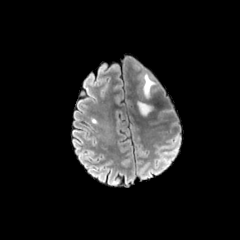
FLAIR MRI.
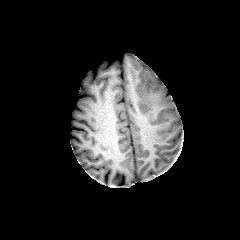
Same slice, T1-weighted MRI.
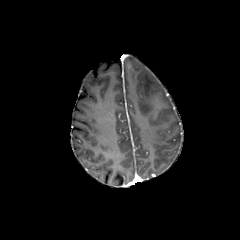
Post-contrast T1-weighted MRI of the same slice.
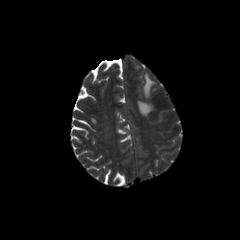
T2-weighted MRI.
Axial plane | Head | 240x240 px
2 peritumoral edema regions appear at bbox(143, 73, 156, 99); bbox(137, 101, 152, 115).